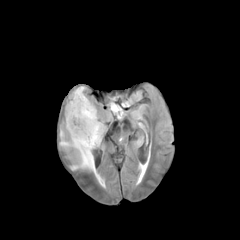
FLAIR MRI.
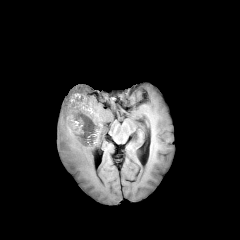
T1-weighted magnetic resonance of the same slice.
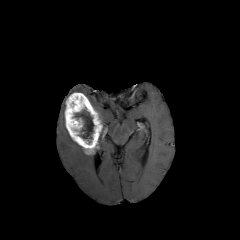
Post-contrast T1-weighted magnetic resonance of the same slice.
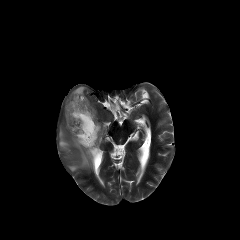
Same slice, T2-weighted magnetic resonance.
Head
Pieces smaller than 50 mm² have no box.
The necrotic tumor core appears at 75,109,93,138. The 2 largest peritumoral edema regions appear at 98,124,105,145; 59,128,95,173. The enhancing tumor appears at 64,92,102,154.